FLAIR MRI.
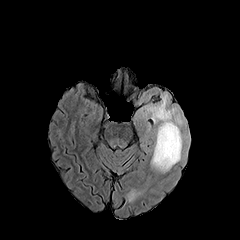
T1-weighted MR image.
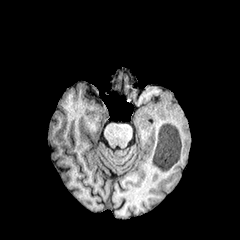
Post-contrast T1-weighted MR image.
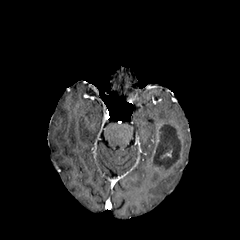
T2-weighted MR image.
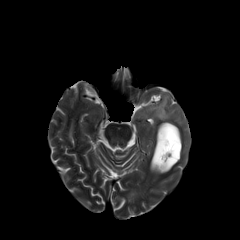
Head
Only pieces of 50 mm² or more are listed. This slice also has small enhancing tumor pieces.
The necrotic tumor core is located at {"x1": 154, "y1": 124, "x2": 181, "y2": 168}. The peritumoral edema is at {"x1": 144, "y1": 94, "x2": 184, "y2": 172}.